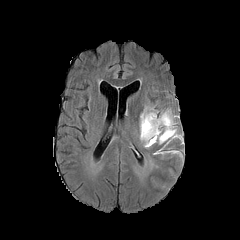
FLAIR MR.
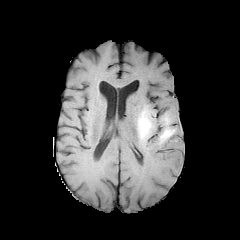
Same slice, T1-weighted MRI.
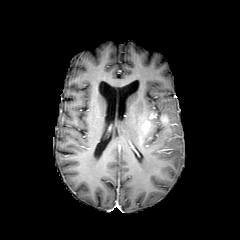
Post-contrast T1-weighted MR image.
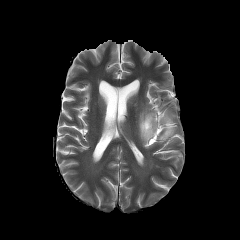
Same slice, T2-weighted magnetic resonance.
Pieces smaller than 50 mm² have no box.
* enhancing tumor: {"x1": 142, "y1": 114, "x2": 156, "y2": 135}, {"x1": 160, "y1": 114, "x2": 170, "y2": 127}
* peritumoral edema: {"x1": 139, "y1": 108, "x2": 180, "y2": 147}